FLAIR MR.
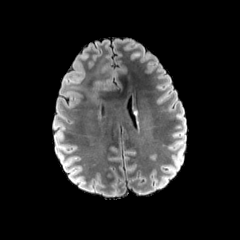
T1-weighted MRI.
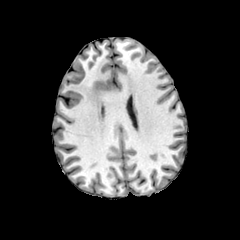
Post-contrast T1-weighted magnetic resonance.
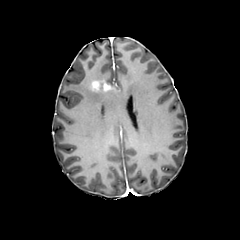
T2-weighted MRI.
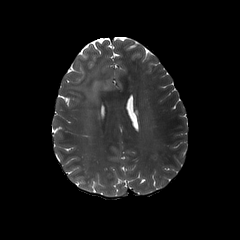
Brain
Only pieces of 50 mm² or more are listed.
Segmented structures:
- peritumoral edema: 69 58 105 108
- enhancing tumor: 90 78 123 102